Axial slice
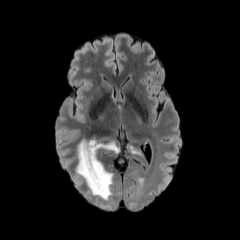
FLAIR magnetic resonance.
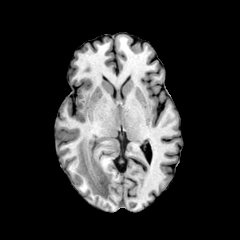
T1-weighted MRI.
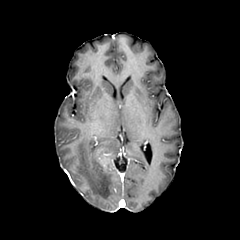
Same slice, post-contrast T1-weighted MRI.
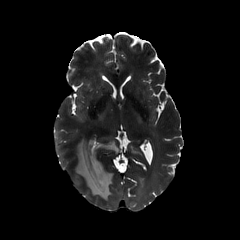
T2-weighted MRI.
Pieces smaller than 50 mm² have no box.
Segmented structures:
* peritumoral edema: 75 139 119 200